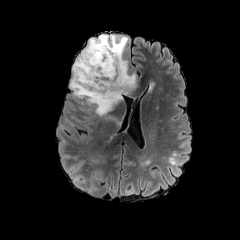
FLAIR MRI.
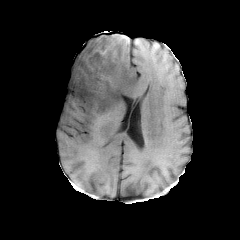
T1-weighted MR image of the same slice.
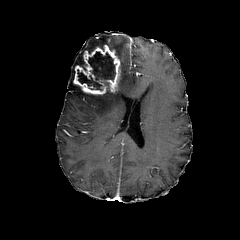
Post-contrast T1-weighted MR of the same slice.
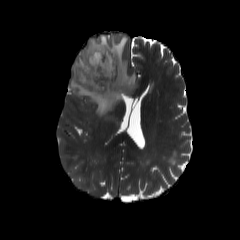
T2-weighted MRI.
Brain; 240x240 px
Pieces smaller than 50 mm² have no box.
<segmentation>
  <necrotic_tumor_core>box=[77, 51, 115, 90]</necrotic_tumor_core>
  <peritumoral_edema>box=[69, 35, 135, 116]</peritumoral_edema>
  <enhancing_tumor>box=[73, 44, 120, 94]</enhancing_tumor>
</segmentation>